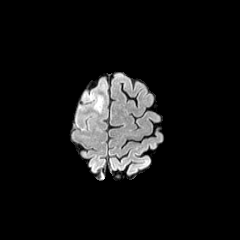
FLAIR magnetic resonance.
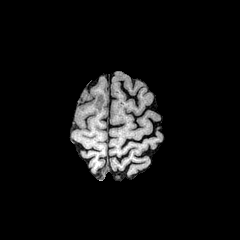
T1-weighted magnetic resonance.
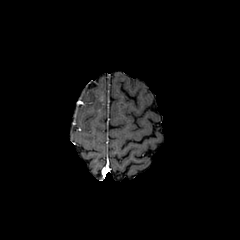
Post-contrast T1-weighted MR of the same slice.
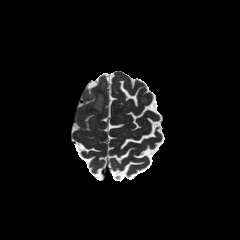
T2-weighted magnetic resonance of the same slice.
Axial view.
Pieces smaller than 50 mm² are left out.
{
  "peritumoral_edema": [
    "x1=94 y1=94 x2=102 y2=111"
  ]
}